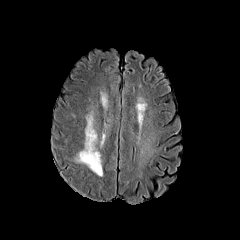
FLAIR MRI.
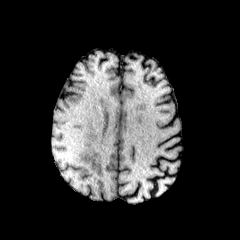
Same slice, T1-weighted MR.
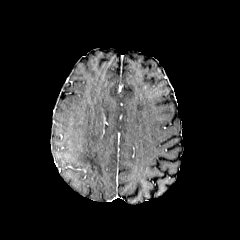
Post-contrast T1-weighted MR image.
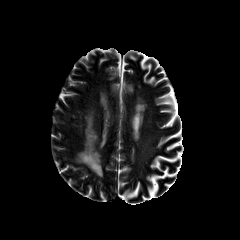
T2-weighted MR image of the same slice.
Brain | 240x240 px
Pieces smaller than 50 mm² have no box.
peritumoral_edema:
  - x1=77 y1=116 x2=102 y2=176